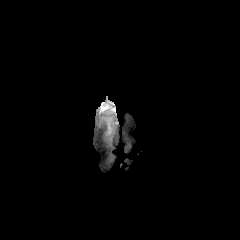
FLAIR MRI.
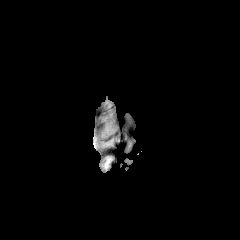
T1-weighted MR of the same slice.
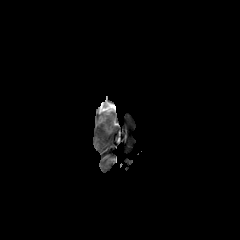
Post-contrast T1-weighted MR.
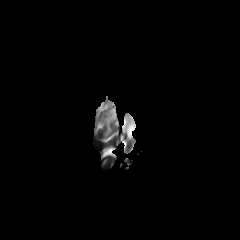
T2-weighted MR image.
Axial plane. 240x240 px.
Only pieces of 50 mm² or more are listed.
enhancing_tumor:
  - l=97, t=98, r=118, b=131
necrotic_tumor_core:
  - l=104, t=112, r=114, b=126
peritumoral_edema:
  - l=105, t=126, r=115, b=139